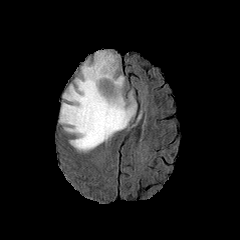
FLAIR MRI.
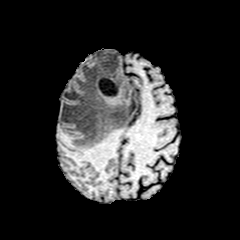
Same slice, T1-weighted MR image.
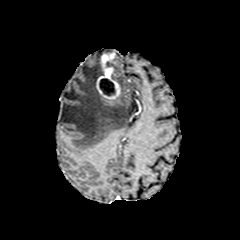
Post-contrast T1-weighted MRI of the same slice.
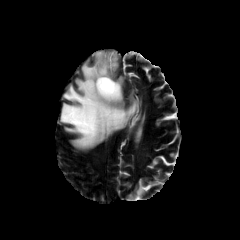
T2-weighted MR.
240x240 px. Axial plane.
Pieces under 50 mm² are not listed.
The largest necrotic tumor core region is at (left=99, top=78, right=115, bottom=95). The enhancing tumor lies within (left=96, top=51, right=120, bottom=99). The largest peritumoral edema region is at (left=59, top=50, right=136, bottom=151).